FLAIR magnetic resonance.
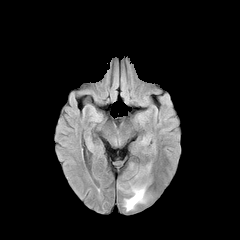
T1-weighted MR image.
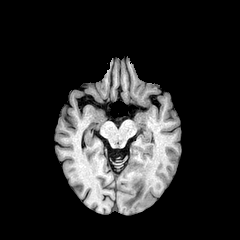
Post-contrast T1-weighted MRI.
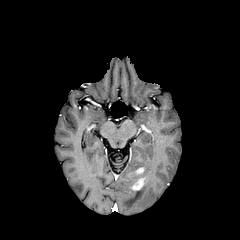
T2-weighted magnetic resonance.
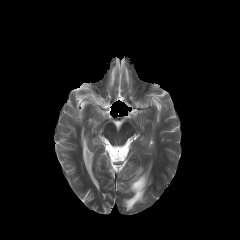
Image size 240x240
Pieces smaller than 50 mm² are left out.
Segmented structures:
* enhancing tumor: [x1=131, y1=167, x2=145, y2=191]
* peritumoral edema: [x1=124, y1=173, x2=147, y2=211]